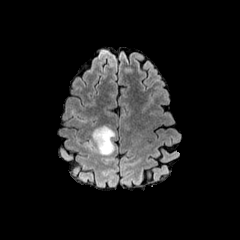
FLAIR magnetic resonance.
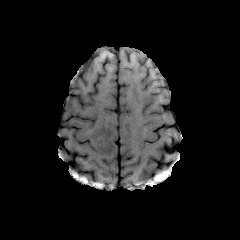
T1-weighted magnetic resonance.
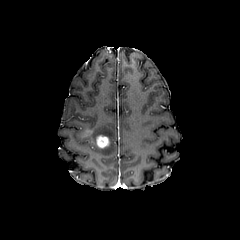
Post-contrast T1-weighted magnetic resonance.
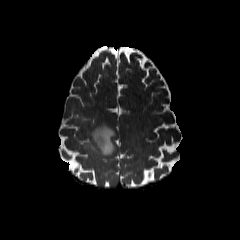
T2-weighted MR of the same slice.
Axial plane | Brain | 240x240
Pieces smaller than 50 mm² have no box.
peritumoral edema: left=83, top=125, right=115, bottom=160
enhancing tumor: left=96, top=135, right=109, bottom=148